240x240 px | Brain
FLAIR magnetic resonance.
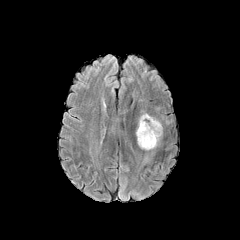
T1-weighted MR image.
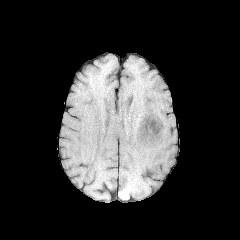
Post-contrast T1-weighted MR.
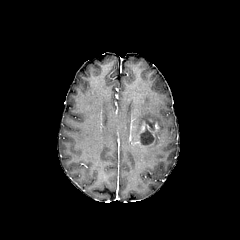
T2-weighted MR image.
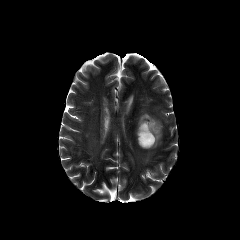
{"enhancing_tumor": ["(137, 120, 159, 146)"], "necrotic_tumor_core": ["(140, 126, 154, 145)", "(146, 121, 154, 130)"], "peritumoral_edema": ["(136, 112, 162, 150)"]}